FLAIR MR.
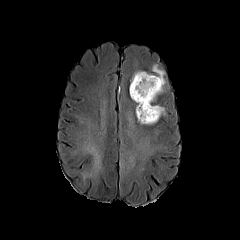
T1-weighted MR.
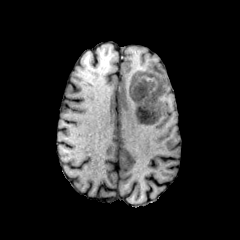
Post-contrast T1-weighted MR image.
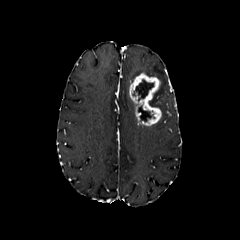
T2-weighted magnetic resonance.
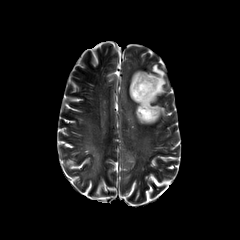
Head
peritumoral edema — l=152, t=105, r=165, b=115; l=131, t=64, r=166, b=105
enhancing tumor — l=129, t=72, r=161, b=125
necrotic tumor core — l=132, t=79, r=153, b=100; l=138, t=106, r=152, b=121